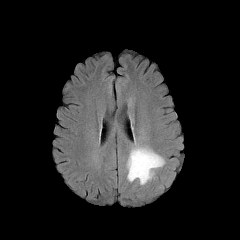
FLAIR MR image.
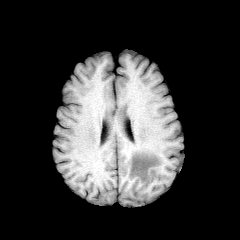
T1-weighted magnetic resonance of the same slice.
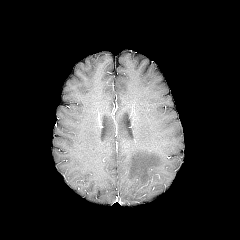
Post-contrast T1-weighted MR image.
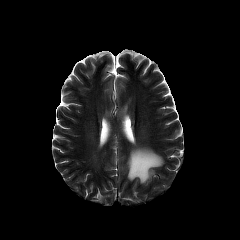
T2-weighted MR image.
peritumoral edema: bounding box rect(127, 146, 164, 184)